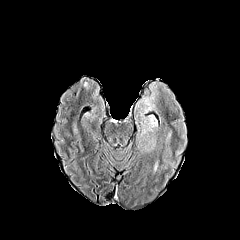
FLAIR MR image.
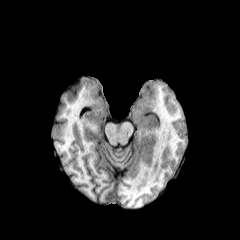
Same slice, T1-weighted MR.
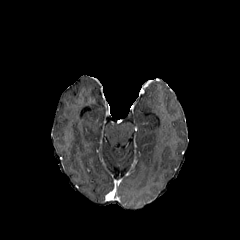
Same slice, post-contrast T1-weighted MRI.
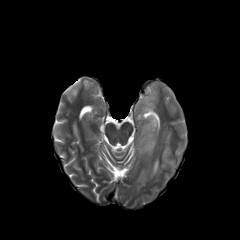
T2-weighted MRI of the same slice.
Axial view
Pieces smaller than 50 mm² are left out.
peritumoral edema: x1=147, y1=114, x2=157, y2=128